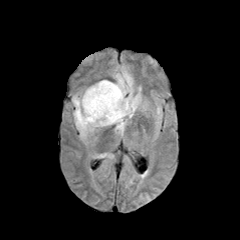
FLAIR MR.
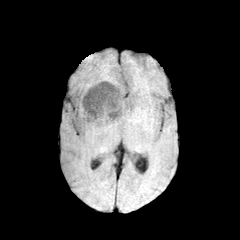
T1-weighted MR image.
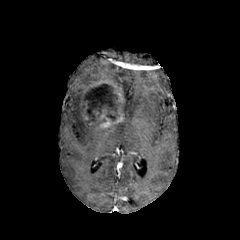
Post-contrast T1-weighted MR image of the same slice.
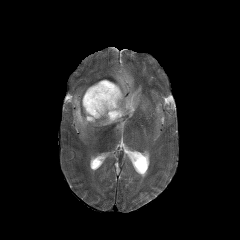
T2-weighted MR image.
Image size 240x240. Axial view.
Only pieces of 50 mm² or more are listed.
necrotic tumor core — 84,83,120,123
peritumoral edema — 72,91,101,139; 113,67,148,135
enhancing tumor — 80,80,124,127